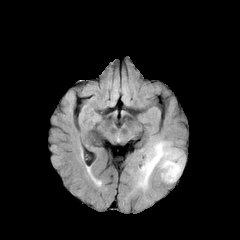
FLAIR MRI.
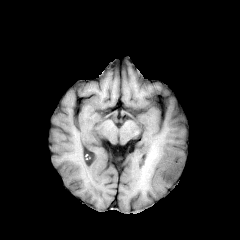
Same slice, T1-weighted MRI.
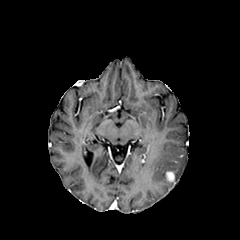
Post-contrast T1-weighted MRI.
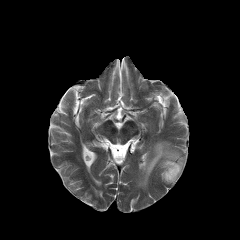
T2-weighted MR.
Head; Axial slice
enhancing tumor: (165,171,175,182)
peritumoral edema: (138,141,184,188)